FLAIR MRI.
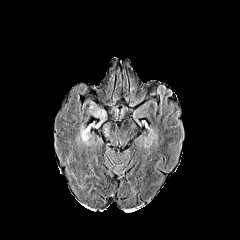
T1-weighted MR.
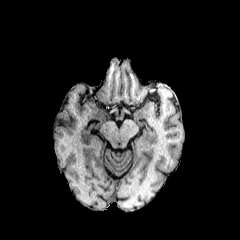
Post-contrast T1-weighted magnetic resonance.
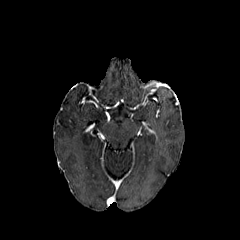
T2-weighted MRI.
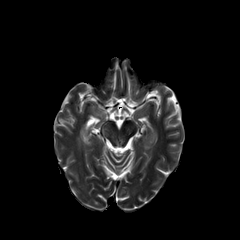
Axial plane. Image size 240x240. Brain.
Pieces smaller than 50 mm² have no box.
Annotated regions:
• peritumoral edema: left=80, top=106, right=107, bottom=144